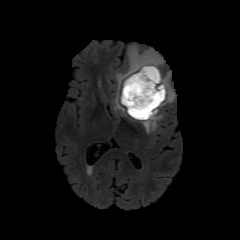
FLAIR MRI.
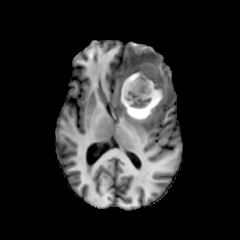
T1-weighted magnetic resonance.
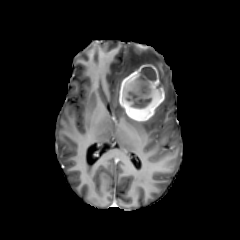
Post-contrast T1-weighted MR image.
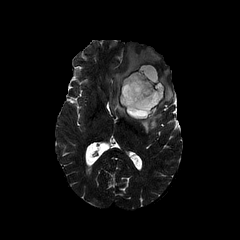
Same slice, T2-weighted magnetic resonance.
Image size 240x240.
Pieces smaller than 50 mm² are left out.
The enhancing tumor is located at box=[119, 64, 164, 120]. The peritumoral edema is located at box=[113, 46, 175, 133]. The largest necrotic tumor core region is at box=[121, 68, 159, 117].